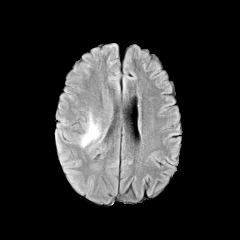
FLAIR MRI.
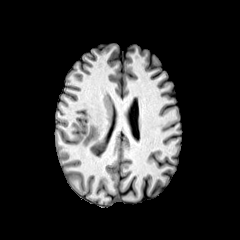
T1-weighted magnetic resonance.
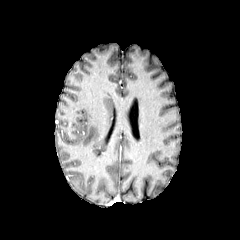
Same slice, post-contrast T1-weighted MR image.
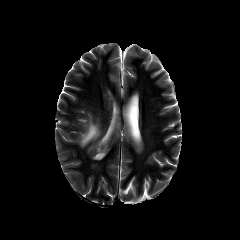
T2-weighted MR of the same slice.
Head
<segmentation>
  <peritumoral_edema>box=[80, 114, 100, 147]; box=[93, 140, 105, 153]</peritumoral_edema>
</segmentation>